Axial view; Brain
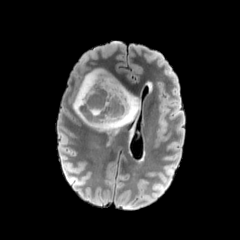
FLAIR MR.
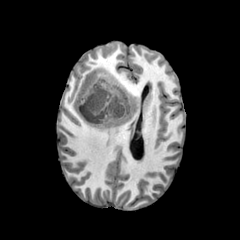
Same slice, T1-weighted MRI.
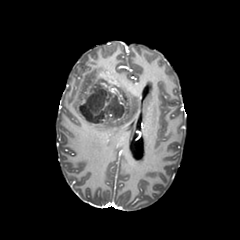
Same slice, post-contrast T1-weighted MR image.
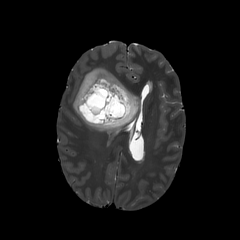
T2-weighted MRI.
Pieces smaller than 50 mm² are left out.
The necrotic tumor core lies within x1=79 y1=85 x2=124 y2=123. The peritumoral edema is bounded by x1=73 y1=68 x2=139 y2=133. The 2 largest enhancing tumor regions appear at x1=97 y1=111 x2=120 y2=123, x1=78 y1=72 x2=127 y2=117.